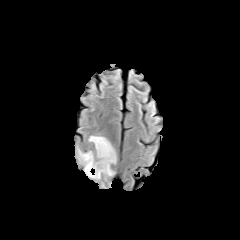
FLAIR MRI.
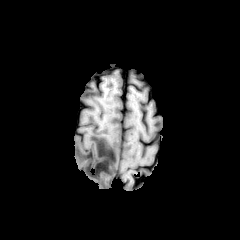
Same slice, T1-weighted MR.
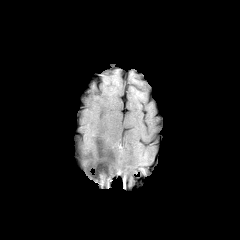
Post-contrast T1-weighted MR image.
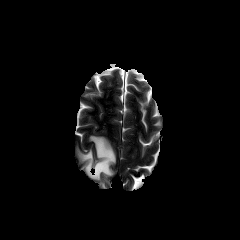
T2-weighted MRI of the same slice.
240x240.
{
  "peritumoral_edema": [
    "box=[80, 136, 115, 177]"
  ]
}